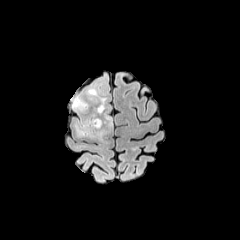
FLAIR MRI.
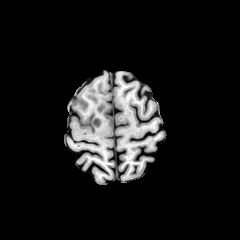
T1-weighted MR image.
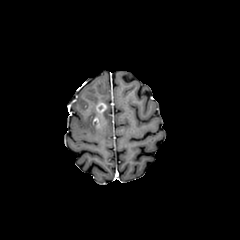
Post-contrast T1-weighted MR image.
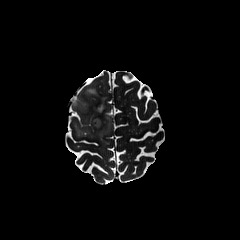
T2-weighted MR image of the same slice.
240x240. Head.
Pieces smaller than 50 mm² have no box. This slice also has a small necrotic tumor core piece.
enhancing tumor: bounding box <bbox>93, 102, 107, 127</bbox>
peritumoral edema: bounding box <bbox>87, 88, 97, 96</bbox>, <bbox>76, 118, 106, 140</bbox>, <bbox>71, 96, 88, 112</bbox>